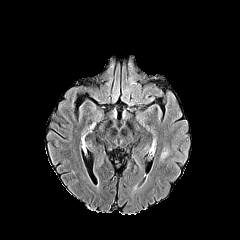
FLAIR magnetic resonance.
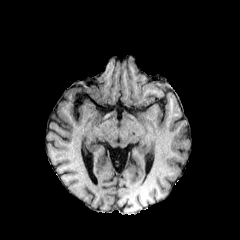
Same slice, T1-weighted MR image.
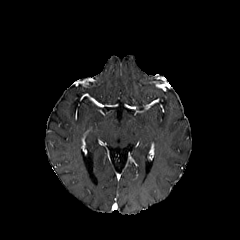
Post-contrast T1-weighted MR image.
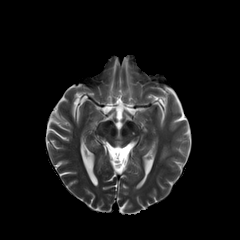
Same slice, T2-weighted MR image.
Image size 240x240
The peritumoral edema appears at bbox=[161, 146, 168, 159].